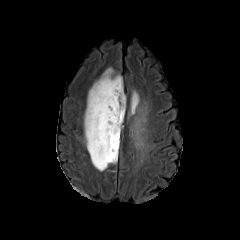
FLAIR MRI.
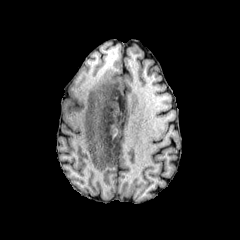
T1-weighted MRI.
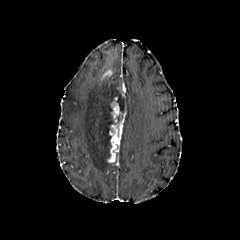
Same slice, post-contrast T1-weighted MR.
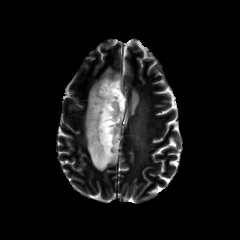
Same slice, T2-weighted MRI.
Head
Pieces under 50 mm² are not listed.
enhancing tumor: rect(107, 97, 125, 162); rect(101, 69, 112, 81); rect(118, 83, 125, 98)
necrotic tumor core: rect(113, 82, 125, 112)
peritumoral edema: rect(129, 90, 139, 115); rect(84, 68, 122, 171)